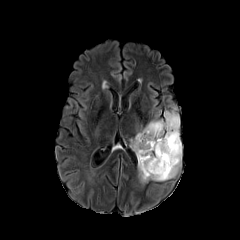
FLAIR magnetic resonance.
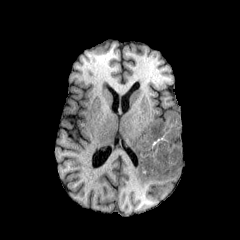
T1-weighted MR image of the same slice.
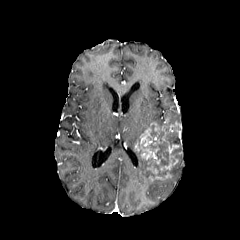
Post-contrast T1-weighted MRI.
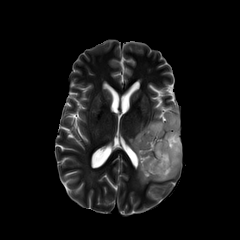
T2-weighted MR of the same slice.
Brain; Axial view
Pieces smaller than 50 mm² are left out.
necrotic tumor core: bounding box [137, 121, 180, 179]
peritumoral edema: bounding box [130, 120, 163, 150], [164, 111, 179, 124], [138, 158, 150, 183], [153, 156, 180, 181]
enhancing tumor: bounding box [160, 144, 179, 171], [134, 122, 168, 164], [169, 122, 178, 136], [155, 172, 171, 179], [147, 164, 158, 174]